FLAIR MR.
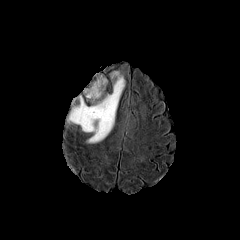
T1-weighted MR.
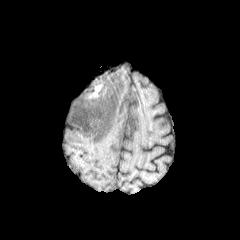
Post-contrast T1-weighted MR image.
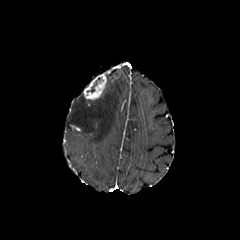
T2-weighted MR.
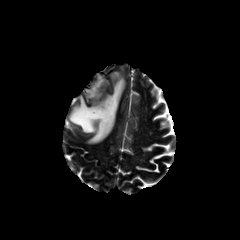
Brain.
enhancing tumor: (83,74,106,99)
necrotic tumor core: (87,77,100,92)
peritumoral edema: (67,71,125,143)